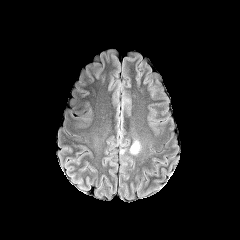
FLAIR MR image.
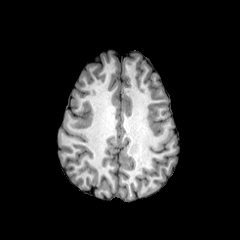
T1-weighted MRI.
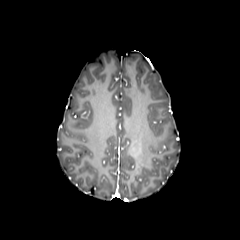
Post-contrast T1-weighted MRI.
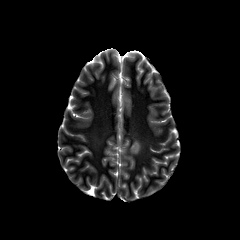
T2-weighted MR.
Axial plane
peritumoral_edema:
  - {"x1": 120, "y1": 139, "x2": 142, "y2": 155}